FLAIR MR.
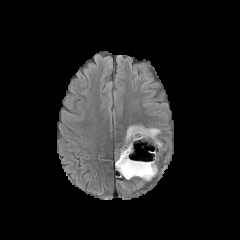
T1-weighted MR image.
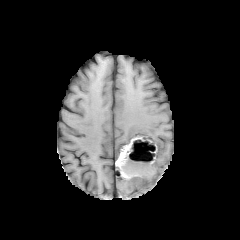
Post-contrast T1-weighted MRI.
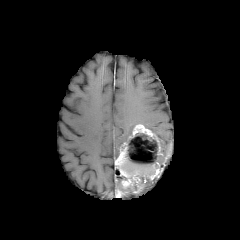
T2-weighted MR.
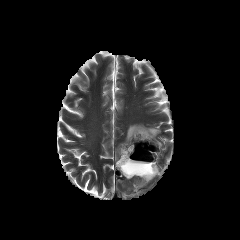
240x240 px; Axial view; Head
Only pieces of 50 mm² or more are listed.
enhancing tumor: <bbox>115, 143, 143, 188</bbox>, <bbox>128, 124, 161, 154</bbox>, <bbox>147, 162, 160, 179</bbox> | necrotic tumor core: <bbox>123, 133, 159, 183</bbox> | peritumoral edema: <bbox>147, 127, 160, 135</bbox>, <bbox>125, 125, 135, 142</bbox>